FLAIR MRI.
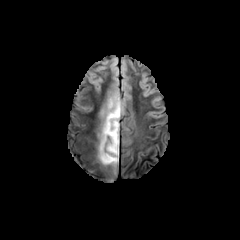
T1-weighted magnetic resonance.
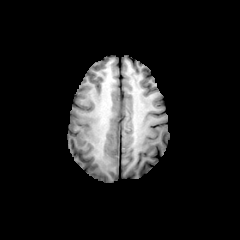
Post-contrast T1-weighted MRI.
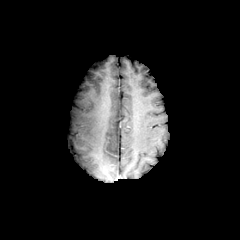
T2-weighted MRI.
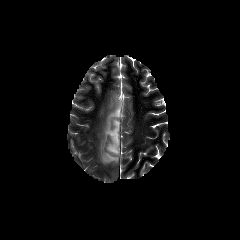
Image size 240x240, Brain
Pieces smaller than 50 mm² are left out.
Segmented structures:
* peritumoral edema: rect(99, 103, 121, 164)